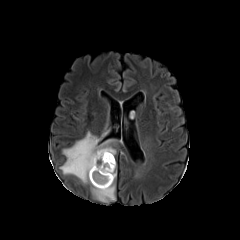
FLAIR MR.
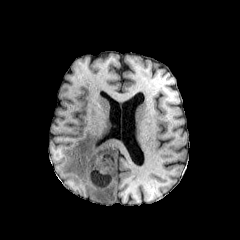
T1-weighted MR.
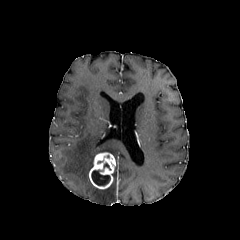
Post-contrast T1-weighted MR.
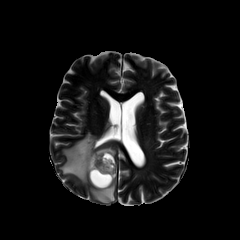
T2-weighted magnetic resonance of the same slice.
Axial slice; Brain
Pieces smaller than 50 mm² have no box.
Findings:
- enhancing tumor: bbox=[89, 152, 115, 189]
- peritumoral edema: bbox=[60, 131, 118, 202]
- necrotic tumor core: bbox=[91, 170, 110, 185]